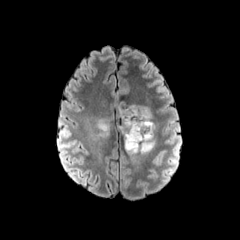
FLAIR MR.
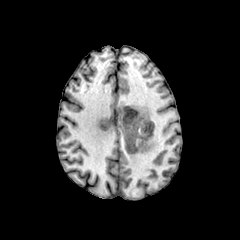
T1-weighted MRI.
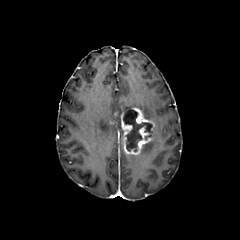
Post-contrast T1-weighted MR of the same slice.
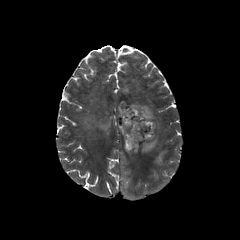
Same slice, T2-weighted MR image.
Brain
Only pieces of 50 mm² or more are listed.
enhancing tumor: (x1=120, y1=107, x2=154, y2=154) | necrotic tumor core: (x1=123, y1=108, x2=152, y2=151) | peritumoral edema: (x1=128, y1=104, x2=153, y2=120), (x1=141, y1=131, x2=154, y2=152), (x1=97, y1=118, x2=112, y2=136), (x1=117, y1=102, x2=124, y2=117)